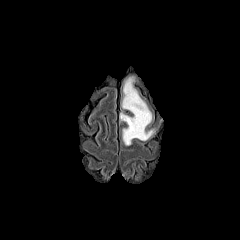
FLAIR MRI.
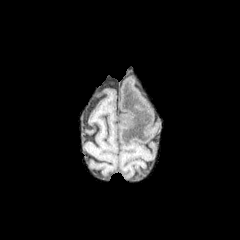
Same slice, T1-weighted MR image.
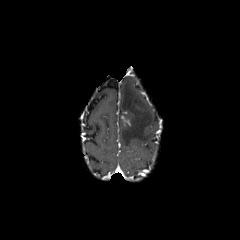
Same slice, post-contrast T1-weighted MR.
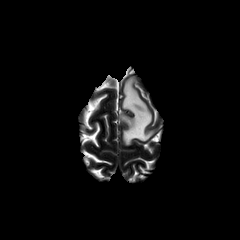
T2-weighted magnetic resonance.
Brain
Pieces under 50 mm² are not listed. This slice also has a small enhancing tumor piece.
peritumoral_edema:
  - bbox=[120, 76, 156, 145]